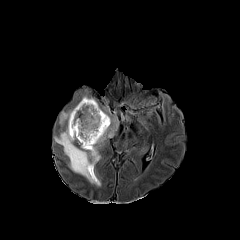
FLAIR MR.
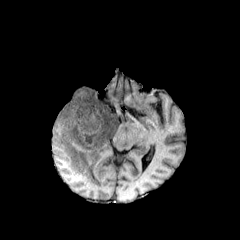
T1-weighted MR of the same slice.
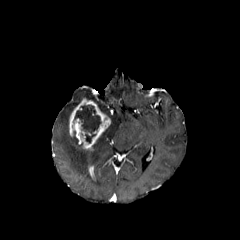
Post-contrast T1-weighted magnetic resonance.
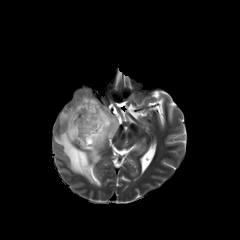
Same slice, T2-weighted MRI.
Head
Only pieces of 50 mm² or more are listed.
peritumoral edema — 54 107 118 186
enhancing tumor — 89 166 96 181, 69 98 110 150
necrotic tumor core — 74 105 101 143